FLAIR magnetic resonance.
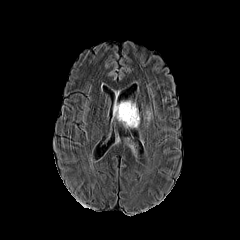
T1-weighted MR image.
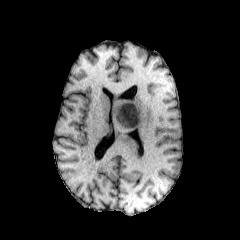
Post-contrast T1-weighted MR.
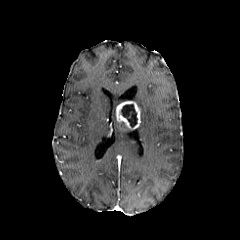
T2-weighted MR image.
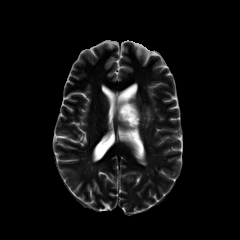
Image size 240x240, Head
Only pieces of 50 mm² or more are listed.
necrotic tumor core: bounding box box=[121, 104, 137, 127]
peritumoral edema: bounding box box=[145, 109, 151, 121]
enhancing tumor: bounding box box=[116, 101, 140, 129]